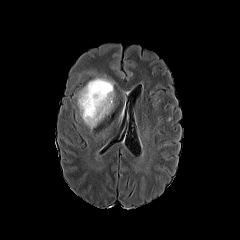
FLAIR MR image.
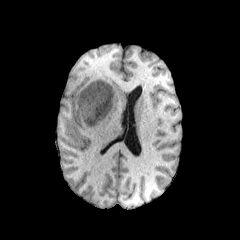
Same slice, T1-weighted magnetic resonance.
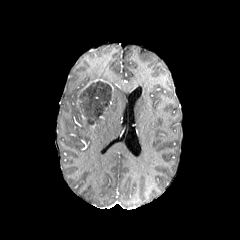
Post-contrast T1-weighted MRI.
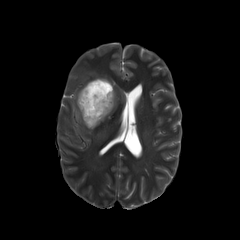
T2-weighted magnetic resonance of the same slice.
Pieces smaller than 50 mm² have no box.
Annotated regions:
• necrotic tumor core: [80, 81, 111, 125]
• enhancing tumor: [81, 78, 113, 99]
• peritumoral edema: [103, 90, 115, 116], [73, 90, 92, 130]